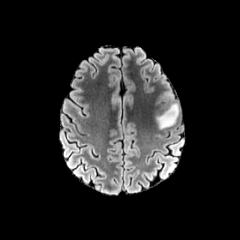
FLAIR MR.
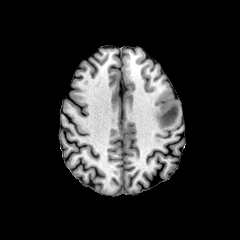
T1-weighted magnetic resonance.
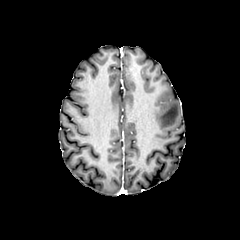
Post-contrast T1-weighted MR.
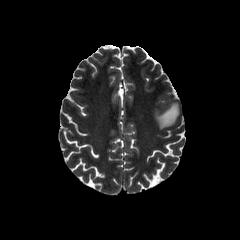
Same slice, T2-weighted MR image.
Head; Axial plane
Annotated regions:
- peritumoral edema: box(156, 102, 179, 129)